FLAIR magnetic resonance.
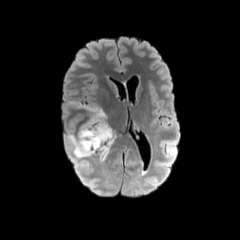
T1-weighted MR.
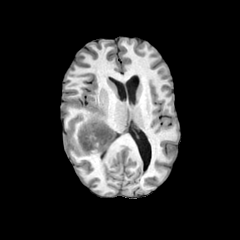
Post-contrast T1-weighted MR.
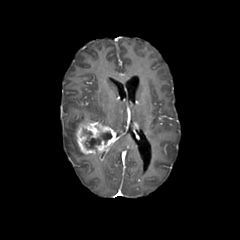
T2-weighted MR image.
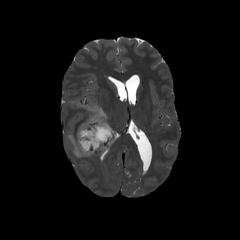
240x240, Head
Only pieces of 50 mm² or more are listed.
peritumoral edema — (x1=89, y1=106, x2=106, y2=124), (x1=68, y1=135, x2=94, y2=157)
necrotic tumor core — (x1=84, y1=131, x2=111, y2=148)
enhancing tumor — (x1=76, y1=119, x2=116, y2=154)